Brain. Image width 240 mm. Image size 240x240.
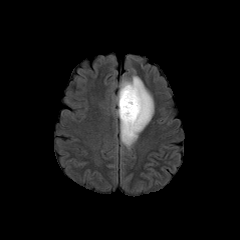
FLAIR MR image.
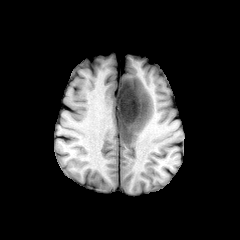
T1-weighted MR.
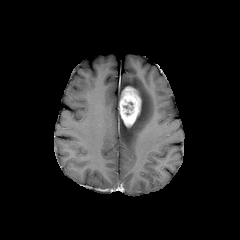
Post-contrast T1-weighted MR.
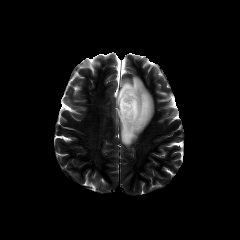
Same slice, T2-weighted MR.
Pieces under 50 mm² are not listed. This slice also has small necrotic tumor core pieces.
peritumoral edema: x1=116 y1=75 x2=154 y2=149 | enhancing tumor: x1=119 y1=86 x2=141 y2=127